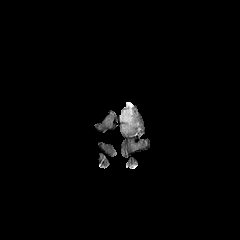
FLAIR MR.
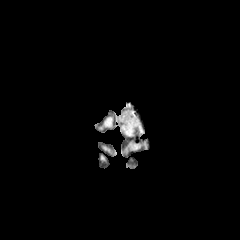
T1-weighted MR image of the same slice.
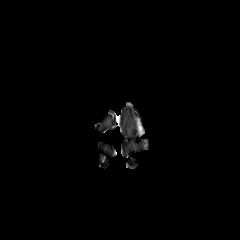
Post-contrast T1-weighted MR image.
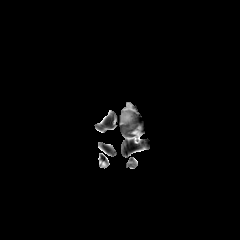
T2-weighted magnetic resonance.
Axial slice.
peritumoral edema: bounding box [x1=121, y1=104, x2=134, y2=128]